FLAIR MRI.
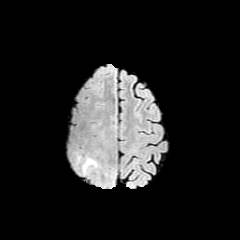
T1-weighted MRI.
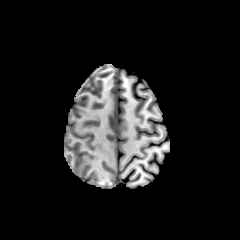
Post-contrast T1-weighted MR image.
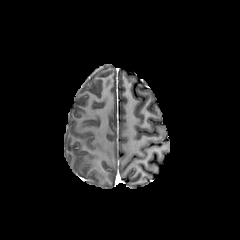
T2-weighted MRI.
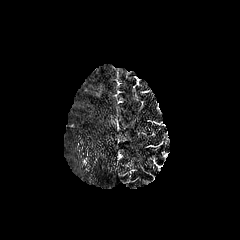
Axial slice
Annotated regions:
* peritumoral edema: (x1=82, y1=158, x2=95, y2=171)